FLAIR MRI.
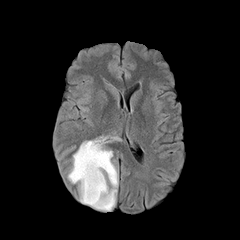
T1-weighted MR image.
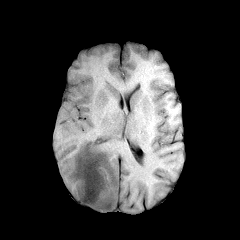
Post-contrast T1-weighted MR.
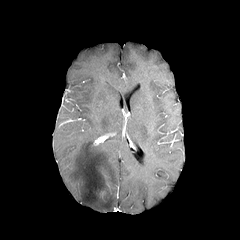
T2-weighted MR image.
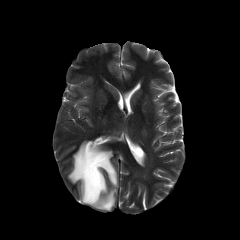
Brain | Axial slice
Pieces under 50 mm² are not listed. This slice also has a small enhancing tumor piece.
peritumoral edema = bbox(68, 140, 118, 211)